Slice 75/155; 240x240 px; Brain; Axial view
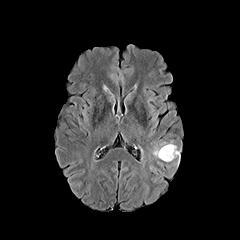
FLAIR MR.
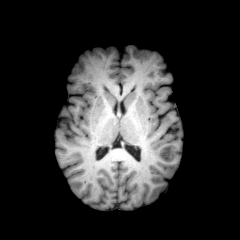
Same slice, T1-weighted MR image.
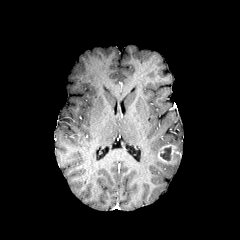
Post-contrast T1-weighted MRI of the same slice.
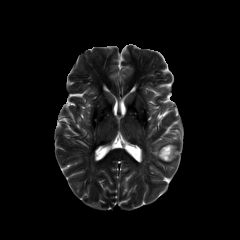
T2-weighted MR image of the same slice.
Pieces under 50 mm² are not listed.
The peritumoral edema appears at x1=153, y1=142, x2=166, y2=157. The largest necrotic tumor core region lies within x1=160, y1=147, x2=171, y2=160. The enhancing tumor is at x1=158, y1=144, x2=179, y2=162.